Axial view, Brain
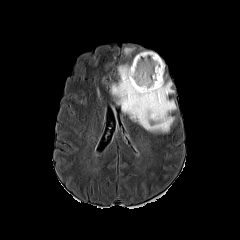
FLAIR MR image.
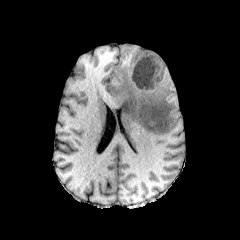
T1-weighted magnetic resonance of the same slice.
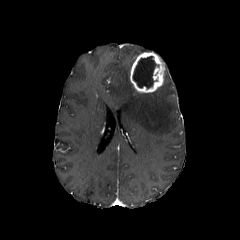
Same slice, post-contrast T1-weighted MR.
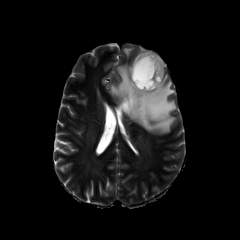
T2-weighted magnetic resonance of the same slice.
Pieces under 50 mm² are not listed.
Findings:
• necrotic tumor core: 132:56:158:88
• peritumoral edema: 110:63:176:133, 123:47:133:55
• enhancing tumor: 130:52:165:93